Axial plane
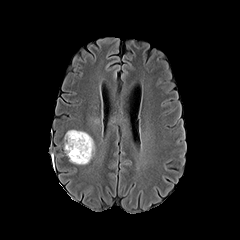
FLAIR MR.
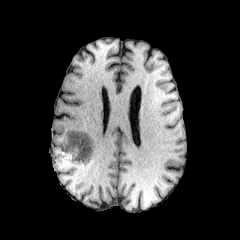
T1-weighted MR.
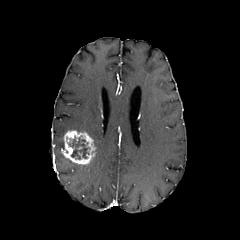
Same slice, post-contrast T1-weighted magnetic resonance.
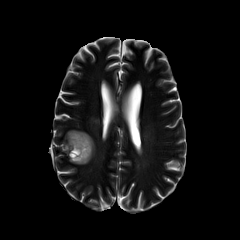
T2-weighted MR image.
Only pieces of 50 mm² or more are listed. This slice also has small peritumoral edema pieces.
enhancing tumor = [63, 130, 95, 164]
necrotic tumor core = [69, 138, 88, 159]